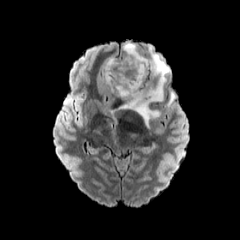
FLAIR MRI.
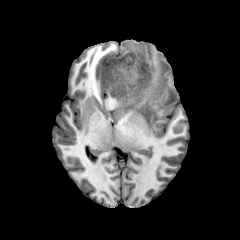
T1-weighted MRI.
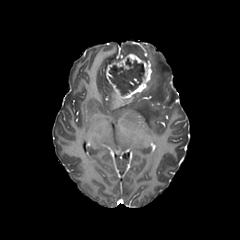
Post-contrast T1-weighted MR.
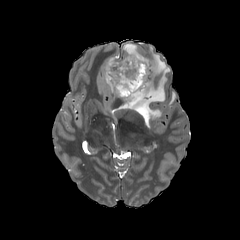
Same slice, T2-weighted MRI.
Brain.
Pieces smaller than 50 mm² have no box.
The necrotic tumor core is at bbox=[109, 58, 144, 95]. The largest enhancing tumor region lies within bbox=[105, 53, 151, 104]. 4 peritumoral edema regions appear at bbox=[168, 91, 175, 105]; bbox=[119, 46, 170, 127]; bbox=[122, 42, 149, 61]; bbox=[103, 57, 115, 93].